Slice 81/155 | Axial view | Head
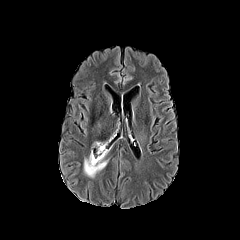
FLAIR magnetic resonance.
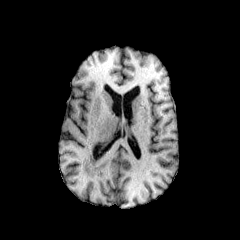
T1-weighted MR image of the same slice.
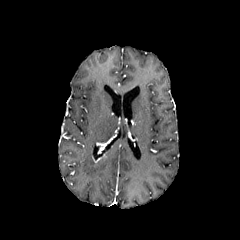
Same slice, post-contrast T1-weighted MR image.
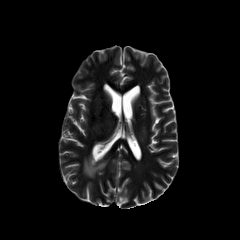
T2-weighted MRI.
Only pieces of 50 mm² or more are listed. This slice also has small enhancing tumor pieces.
peritumoral edema: rect(84, 152, 107, 177)